FLAIR MRI.
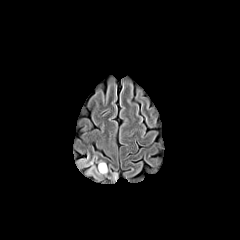
T1-weighted magnetic resonance.
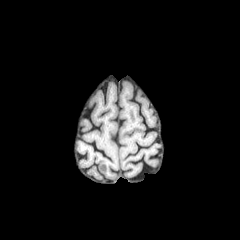
Post-contrast T1-weighted magnetic resonance.
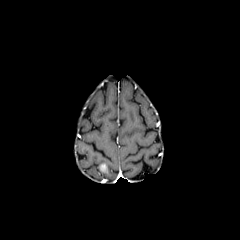
T2-weighted MR.
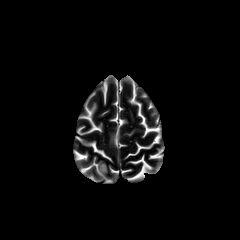
Head, Axial slice
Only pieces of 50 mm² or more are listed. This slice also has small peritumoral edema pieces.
The enhancing tumor is bounded by <bbox>99, 164, 106, 171</bbox>.